FLAIR magnetic resonance.
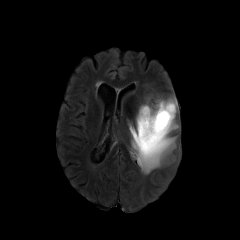
T1-weighted magnetic resonance.
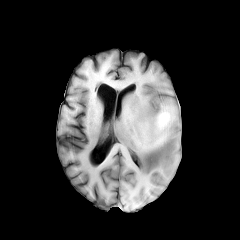
Post-contrast T1-weighted MR.
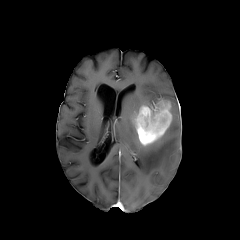
T2-weighted MRI.
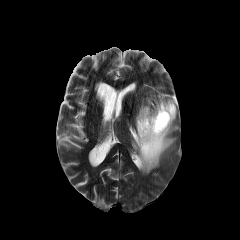
enhancing tumor = (134, 100, 172, 145)
peritumoral edema = (128, 95, 178, 174)